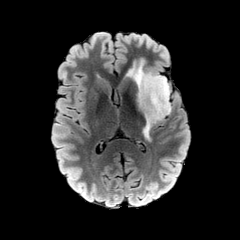
FLAIR MR.
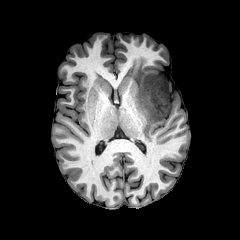
T1-weighted MRI.
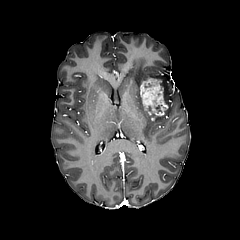
Post-contrast T1-weighted MR image.
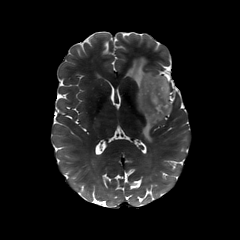
T2-weighted magnetic resonance.
Image size 240x240.
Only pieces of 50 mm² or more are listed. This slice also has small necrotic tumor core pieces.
- enhancing tumor: x1=139, y1=77, x2=168, y2=121
- peritumoral edema: x1=126, y1=59, x2=171, y2=140